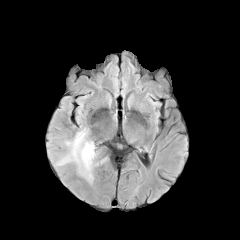
FLAIR MR image.
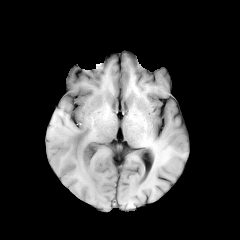
Same slice, T1-weighted MR image.
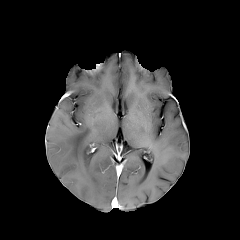
Same slice, post-contrast T1-weighted MR image.
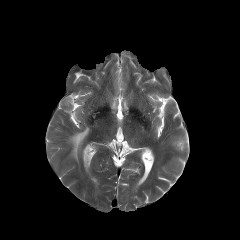
T2-weighted magnetic resonance of the same slice.
Axial slice. 240x240 px. Head.
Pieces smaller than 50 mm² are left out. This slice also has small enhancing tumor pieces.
peritumoral edema at left=68, top=129, right=94, bottom=172